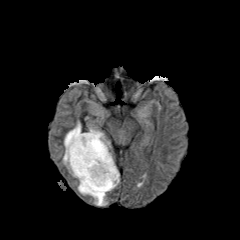
FLAIR MRI.
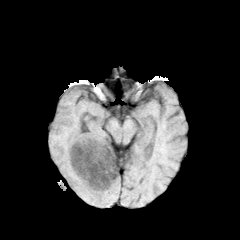
T1-weighted MR image of the same slice.
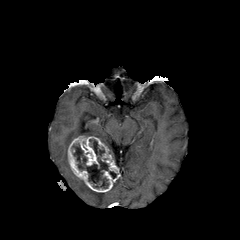
Post-contrast T1-weighted MRI.
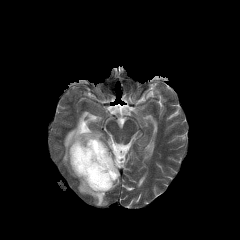
T2-weighted MR image of the same slice.
Axial slice.
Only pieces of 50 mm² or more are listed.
necrotic tumor core = (x1=72, y1=145, x2=108, y2=188), (x1=89, y1=139, x2=104, y2=156)
enhancing tumor = (x1=67, y1=135, x2=120, y2=192)
peritumoral edema = (x1=63, y1=121, x2=110, y2=205)